FLAIR MR image.
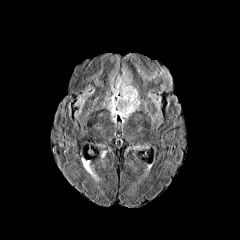
T1-weighted MR image.
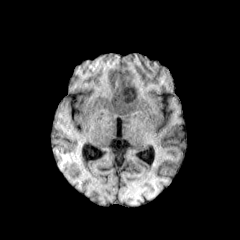
Post-contrast T1-weighted MRI.
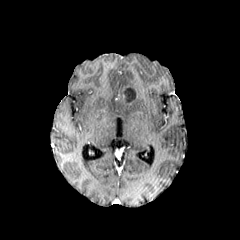
T2-weighted MR image.
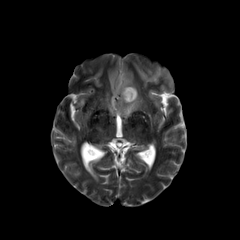
Axial plane
necrotic tumor core at 124 88 135 102
enhancing tumor at 119 84 138 105
peritumoral edema at 106 68 140 123